Slice 63/155; Image covers 240 mm x 240 mm; Head
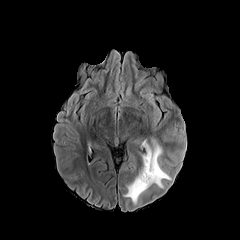
FLAIR MR.
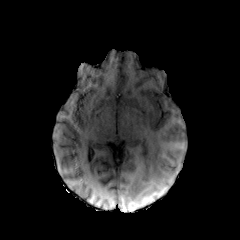
T1-weighted MR.
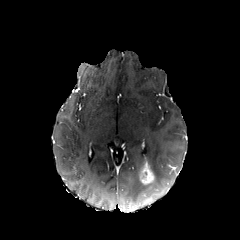
Post-contrast T1-weighted MR.
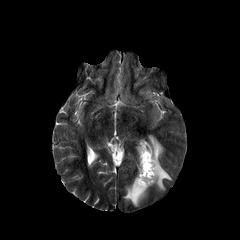
Same slice, T2-weighted MR image.
The enhancing tumor appears at x1=140 y1=157 x2=154 y2=184. The peritumoral edema appears at x1=122 y1=136 x2=171 y2=204.